FLAIR MRI.
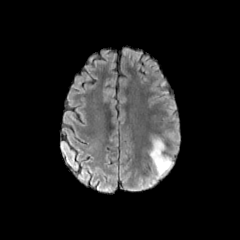
T1-weighted MR.
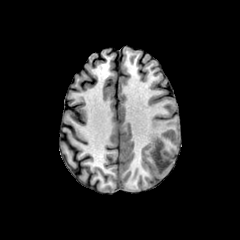
Post-contrast T1-weighted MR image.
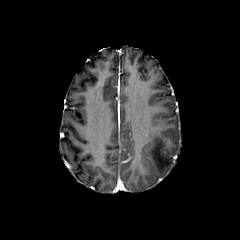
T2-weighted MR image.
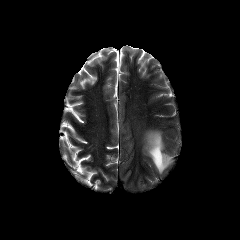
peritumoral_edema:
  - rect(149, 137, 172, 174)